Axial slice. Image width 240 mm. Head. Slice 66/155. Image size 240x240.
FLAIR magnetic resonance.
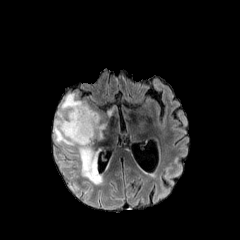
T1-weighted magnetic resonance.
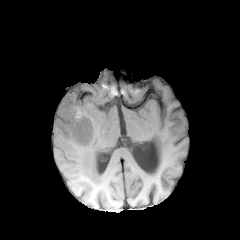
Post-contrast T1-weighted magnetic resonance.
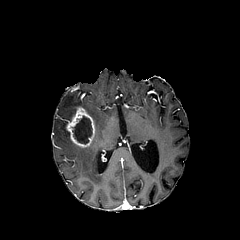
T2-weighted MR.
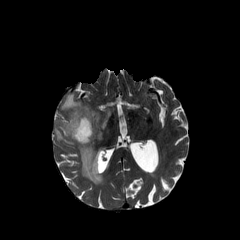
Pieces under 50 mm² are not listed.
Annotated regions:
* enhancing tumor: box(65, 106, 95, 148)
* peritumoral edema: box(54, 93, 106, 145); box(76, 141, 102, 184)
* necrotic tumor core: box(71, 115, 92, 144)